FLAIR MR.
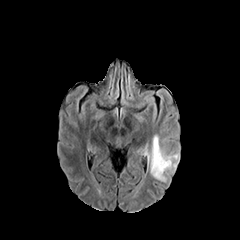
T1-weighted MR.
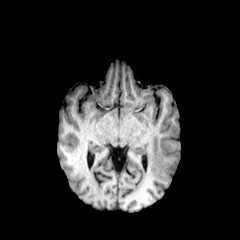
Post-contrast T1-weighted magnetic resonance.
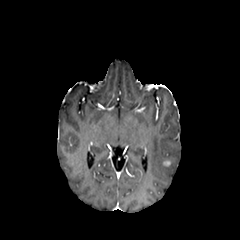
T2-weighted MR image.
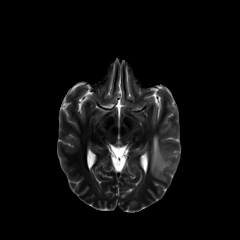
Brain, Axial view
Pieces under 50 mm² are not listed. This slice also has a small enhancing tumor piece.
Segmented structures:
• peritumoral edema: (150,134,179,182)